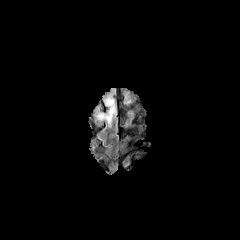
FLAIR MR image.
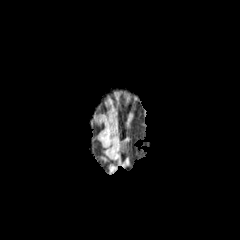
T1-weighted MR image.
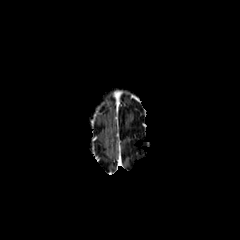
Same slice, post-contrast T1-weighted MR image.
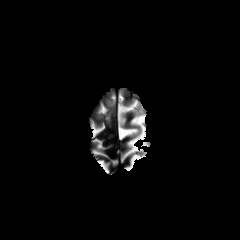
T2-weighted MR.
Head
Segmented structures:
- peritumoral edema: bbox=[97, 96, 115, 123]